240x240 px, Axial plane, Brain
FLAIR MRI.
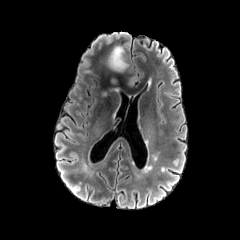
T1-weighted magnetic resonance.
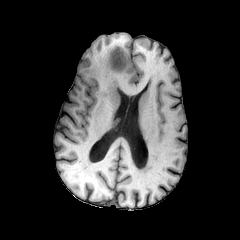
Post-contrast T1-weighted MR image.
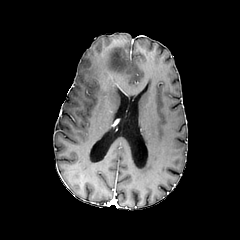
T2-weighted MR image.
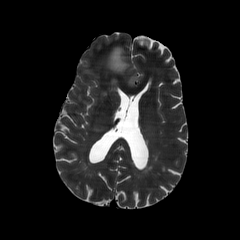
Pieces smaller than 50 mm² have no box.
peritumoral edema: <box>108,46,128,72</box> | enhancing tumor: <box>108,75,118,85</box>